Head; Slice index 97; Image width 240 mm; Axial plane; 240x240 px
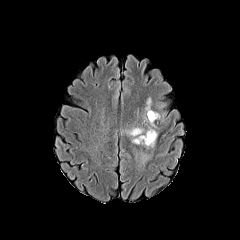
FLAIR MRI.
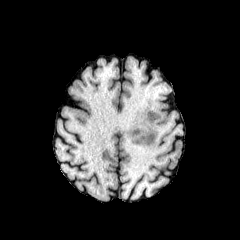
Same slice, T1-weighted magnetic resonance.
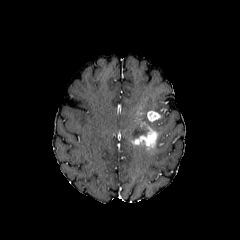
Post-contrast T1-weighted magnetic resonance.
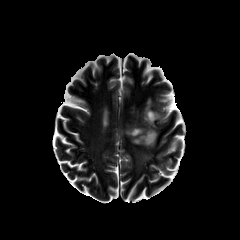
T2-weighted MR.
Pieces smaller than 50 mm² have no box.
enhancing_tumor:
  - <bbox>132, 126, 158, 148</bbox>
  - <bbox>147, 110, 160, 121</bbox>
peritumoral_edema:
  - <bbox>121, 127, 147, 139</bbox>
  - <bbox>141, 96, 160, 131</bbox>
  - <bbox>133, 148, 150, 165</bbox>
  - <bbox>134, 108, 139, 122</bbox>